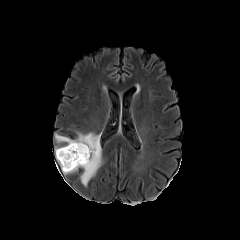
FLAIR MR image.
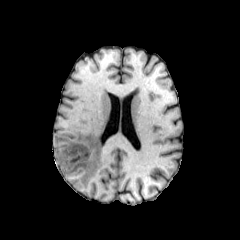
T1-weighted MR.
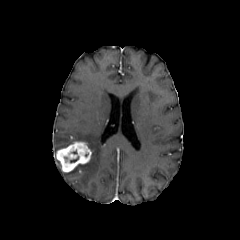
Same slice, post-contrast T1-weighted magnetic resonance.
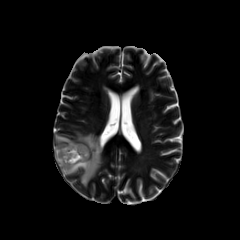
Same slice, T2-weighted MR image.
Axial plane | Head
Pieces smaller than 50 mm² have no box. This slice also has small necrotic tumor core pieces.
enhancing tumor at 56, 141, 91, 172
peritumoral edema at 55, 131, 102, 186